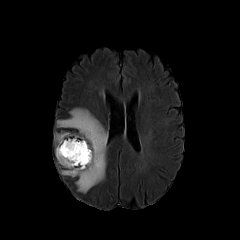
FLAIR MR.
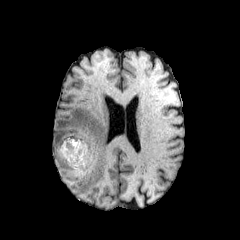
T1-weighted MR.
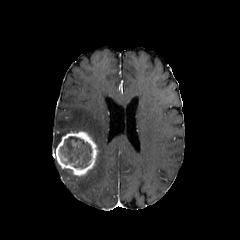
Post-contrast T1-weighted MR image.
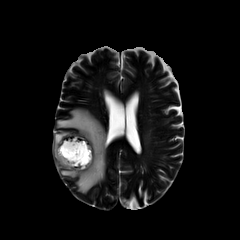
T2-weighted MR.
Head
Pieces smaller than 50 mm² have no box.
{
  "enhancing_tumor": [
    "[55,131,98,176]"
  ],
  "peritumoral_edema": [
    "[54,132,69,147]",
    "[61,169,76,177]",
    "[56,108,107,193]"
  ],
  "necrotic_tumor_core": [
    "[60,137,91,168]"
  ]
}